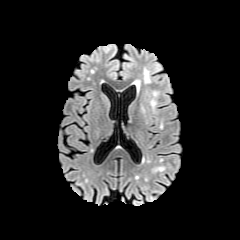
FLAIR magnetic resonance.
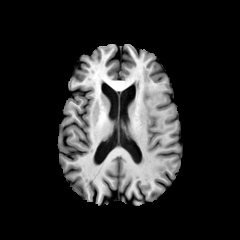
Same slice, T1-weighted magnetic resonance.
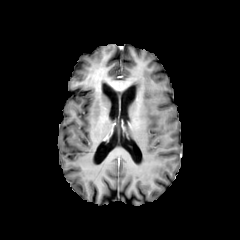
Same slice, post-contrast T1-weighted magnetic resonance.
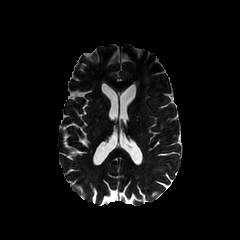
T2-weighted MRI.
Image size 240x240, Axial slice
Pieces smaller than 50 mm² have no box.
peritumoral edema at bbox=[140, 103, 148, 120]; bbox=[144, 68, 150, 83]; bbox=[150, 91, 158, 109]